Slice 66 of 155 | Head | Axial plane
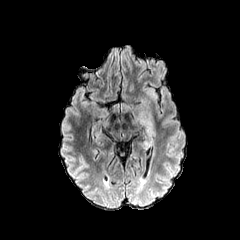
FLAIR MR.
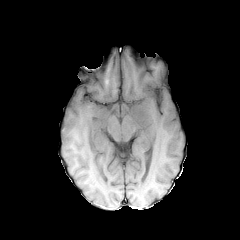
T1-weighted MR.
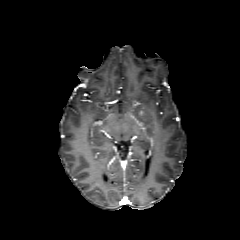
Post-contrast T1-weighted magnetic resonance.
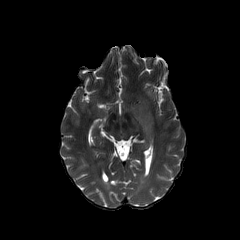
Same slice, T2-weighted MR.
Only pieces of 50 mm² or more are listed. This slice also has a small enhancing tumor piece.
peritumoral edema: (138, 105, 154, 128), (147, 88, 156, 99)